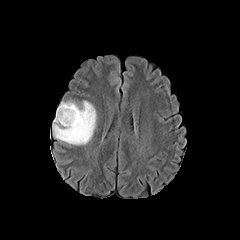
FLAIR MR image.
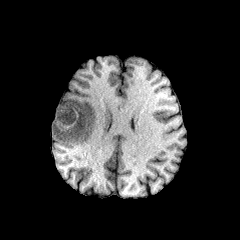
T1-weighted MRI of the same slice.
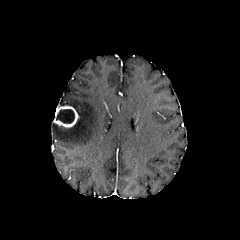
Post-contrast T1-weighted MRI.
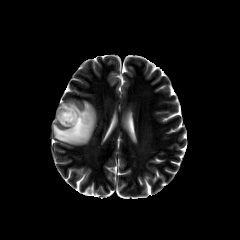
T2-weighted MRI.
Axial plane. Head.
The necrotic tumor core is bounded by box(56, 109, 74, 123). The peritumoral edema lies within box(52, 100, 96, 145). The enhancing tumor lies within box(53, 105, 79, 127).